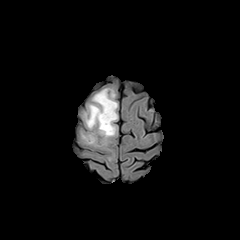
FLAIR magnetic resonance.
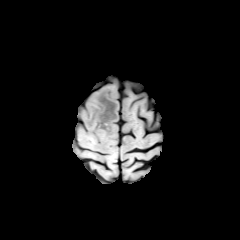
T1-weighted magnetic resonance.
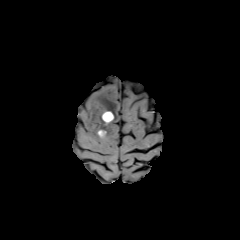
Post-contrast T1-weighted MR image.
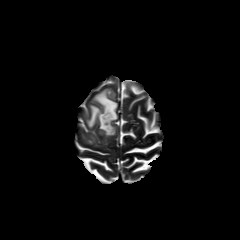
Same slice, T2-weighted magnetic resonance.
Brain
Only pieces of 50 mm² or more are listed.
{"enhancing_tumor": ["(left=102, top=111, right=113, bottom=123)"], "peritumoral_edema": ["(left=83, top=88, right=118, bottom=144)", "(left=82, top=132, right=96, bottom=144)"]}